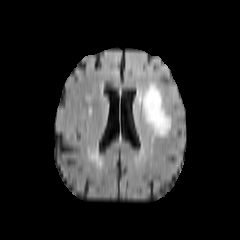
FLAIR MR.
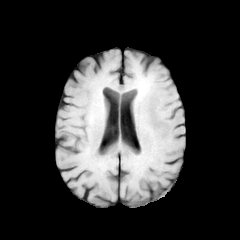
T1-weighted magnetic resonance of the same slice.
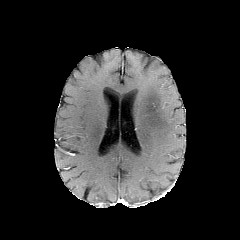
Post-contrast T1-weighted MR.
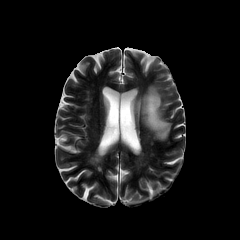
T2-weighted magnetic resonance.
Head
peritumoral_edema:
  - (139,84,170,137)